Head
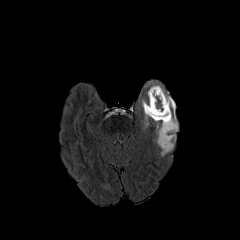
FLAIR magnetic resonance.
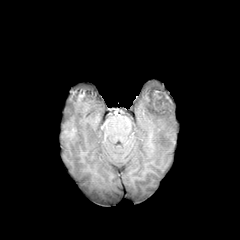
T1-weighted MR image of the same slice.
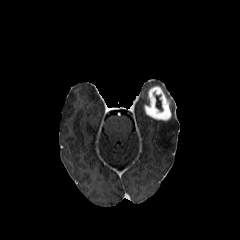
Post-contrast T1-weighted MR of the same slice.
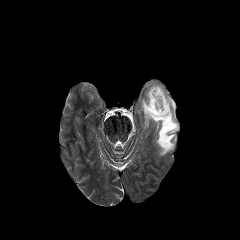
Same slice, T2-weighted MR image.
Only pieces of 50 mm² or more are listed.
* peritumoral edema: box=[144, 111, 152, 128]; box=[146, 82, 169, 98]; box=[141, 99, 149, 110]; box=[154, 116, 178, 155]
* enhancing tumor: box=[144, 86, 171, 121]
* necrotic tumor core: box=[155, 95, 162, 111]